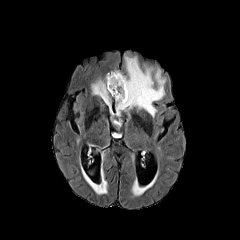
FLAIR MR.
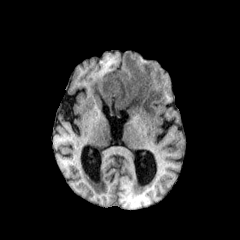
T1-weighted MR image.
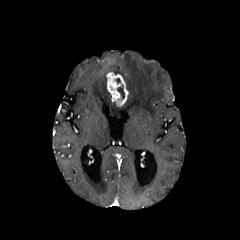
Post-contrast T1-weighted magnetic resonance of the same slice.
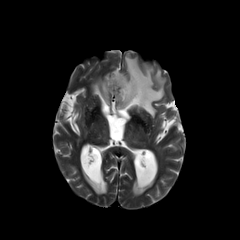
T2-weighted MR image of the same slice.
240x240
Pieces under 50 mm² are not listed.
Annotated regions:
* necrotic tumor core: (117, 84, 124, 99)
* enhancing tumor: (106, 72, 128, 106)
* peritumoral edema: (114, 56, 165, 116), (91, 78, 110, 105), (88, 180, 106, 194)